240x240, Brain, Slice index 77
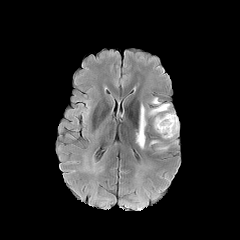
FLAIR MRI.
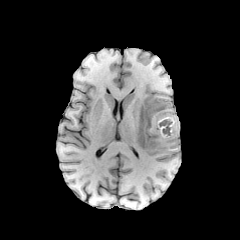
T1-weighted MR of the same slice.
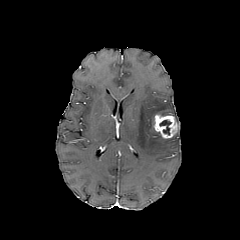
Post-contrast T1-weighted magnetic resonance.
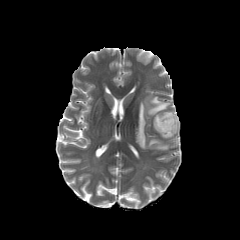
T2-weighted MR of the same slice.
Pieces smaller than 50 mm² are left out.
The necrotic tumor core appears at 159:120:171:133. The 2 largest peritumoral edema regions appear at 149:140:168:151, 136:97:178:148. The enhancing tumor is located at 153:114:178:139.